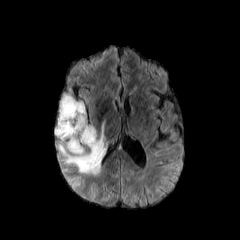
FLAIR magnetic resonance.
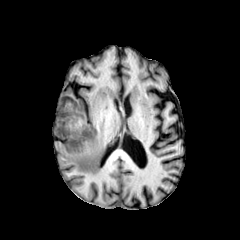
T1-weighted MRI.
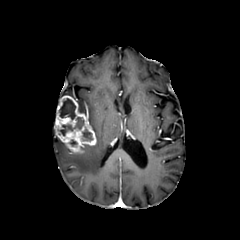
Post-contrast T1-weighted MR.
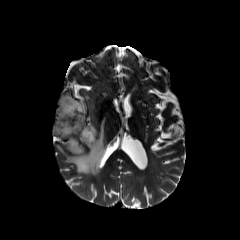
T2-weighted MRI.
Head | 240x240 px
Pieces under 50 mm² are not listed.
<segmentation>
  <necrotic_tumor_core>{"x1": 59, "y1": 98, "x2": 75, "y2": 119}, {"x1": 82, "y1": 129, "x2": 92, "y2": 140}, {"x1": 59, "y1": 117, "x2": 83, "y2": 135}</necrotic_tumor_core>
  <enhancing_tumor>{"x1": 55, "y1": 95, "x2": 96, "y2": 153}</enhancing_tumor>
  <peritumoral_edema>{"x1": 77, "y1": 101, "x2": 85, "y2": 114}, {"x1": 57, "y1": 123, "x2": 106, "y2": 175}</peritumoral_edema>
</segmentation>